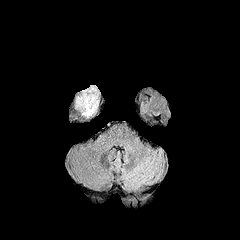
FLAIR MR image.
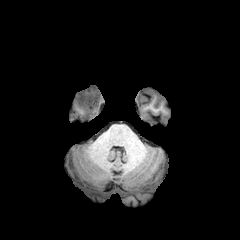
Same slice, T1-weighted magnetic resonance.
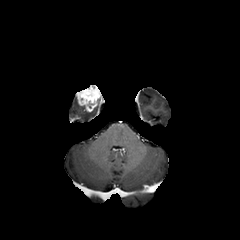
Post-contrast T1-weighted MR of the same slice.
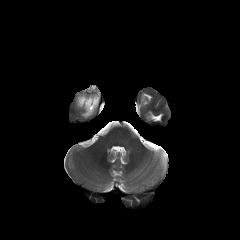
Same slice, T2-weighted MR.
Brain; Axial slice
<segmentation>
  <enhancing_tumor>76,85,101,112</enhancing_tumor>
  <peritumoral_edema>76,97,97,117</peritumoral_edema>
</segmentation>